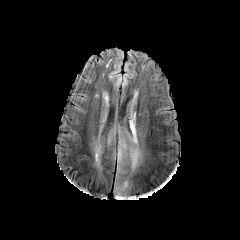
FLAIR MR.
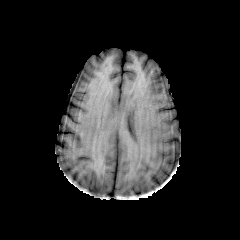
T1-weighted magnetic resonance of the same slice.
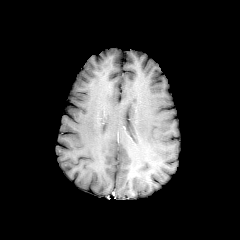
Post-contrast T1-weighted magnetic resonance.
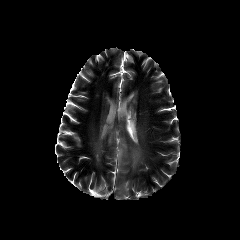
T2-weighted MRI.
Axial slice. Head.
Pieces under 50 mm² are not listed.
Findings:
• peritumoral edema: 131:126:137:143, 131:151:138:166